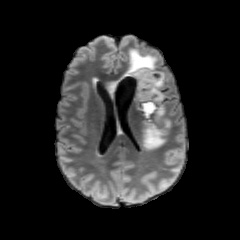
FLAIR MR image.
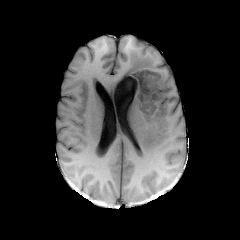
T1-weighted magnetic resonance.
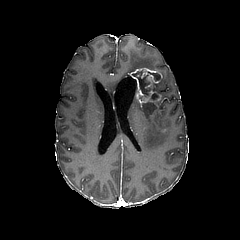
Post-contrast T1-weighted magnetic resonance.
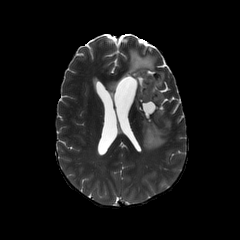
T2-weighted MR.
Brain.
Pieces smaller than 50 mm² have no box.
Segmented structures:
* peritumoral edema: [x1=106, y1=48, x2=157, y2=96], [x1=155, y1=71, x2=164, y2=117], [x1=143, y1=119, x2=170, y2=150]
* enhancing tumor: [x1=127, y1=67, x2=162, y2=106]
* necrotic tumor core: [x1=132, y1=70, x2=160, y2=100], [x1=142, y1=102, x2=156, y2=116]